Head
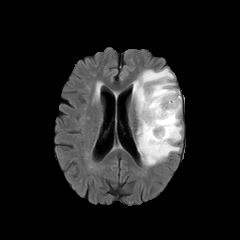
FLAIR magnetic resonance.
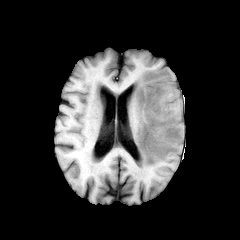
Same slice, T1-weighted magnetic resonance.
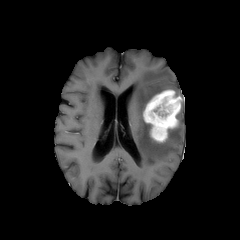
Same slice, post-contrast T1-weighted MR image.
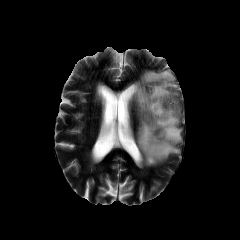
T2-weighted magnetic resonance of the same slice.
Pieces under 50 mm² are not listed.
necrotic tumor core: (153,104,170,117) | peritumoral edema: (133,68,182,165) | enhancing tumor: (143,89,181,142)